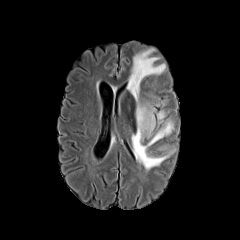
FLAIR MR image.
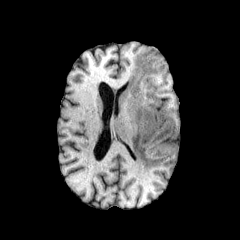
Same slice, T1-weighted magnetic resonance.
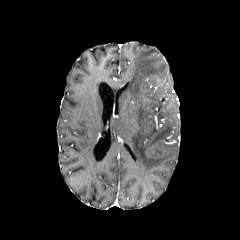
Post-contrast T1-weighted MRI.
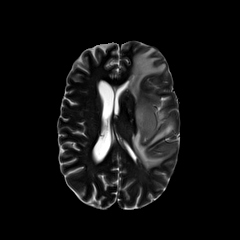
T2-weighted MRI.
Axial view. 240x240.
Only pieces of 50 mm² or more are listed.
The 2 largest peritumoral edema regions are bounded by <bbox>156, 111, 165, 123</bbox>, <bbox>127, 48, 174, 170</bbox>.